Axial slice
FLAIR magnetic resonance.
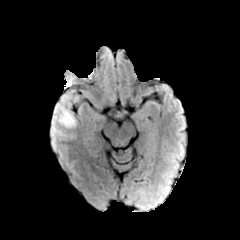
T1-weighted MRI.
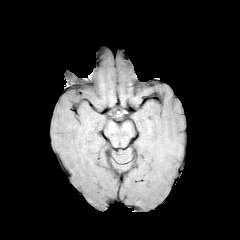
Post-contrast T1-weighted magnetic resonance.
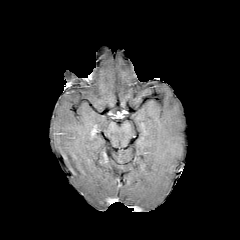
T2-weighted magnetic resonance.
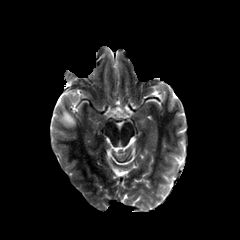
{
  "peritumoral_edema": [
    "(left=56, top=106, right=76, bottom=127)"
  ]
}